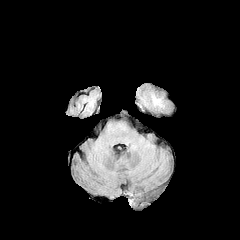
FLAIR MR.
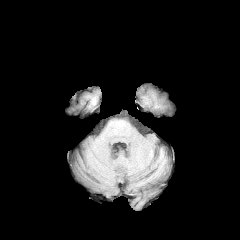
Same slice, T1-weighted MR.
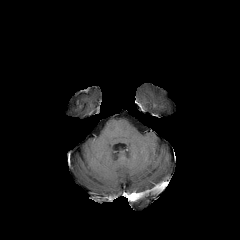
Post-contrast T1-weighted MRI.
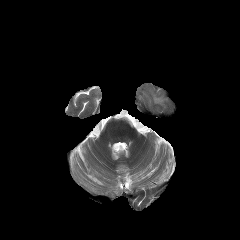
T2-weighted MR of the same slice.
Axial view.
peritumoral edema at 152:96:161:105